Axial plane | Head | 240x240 | Image width 240 mm, 1.00 mm slice spacing
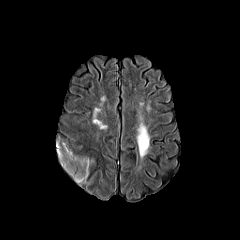
FLAIR magnetic resonance.
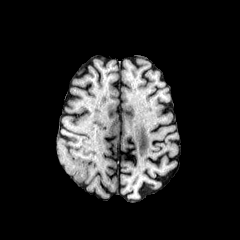
T1-weighted magnetic resonance of the same slice.
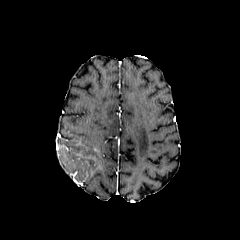
Post-contrast T1-weighted magnetic resonance.
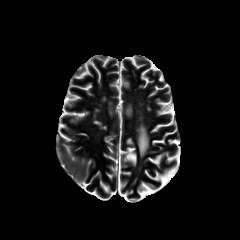
T2-weighted MRI.
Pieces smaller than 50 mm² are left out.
peritumoral edema: [56, 142, 92, 181]